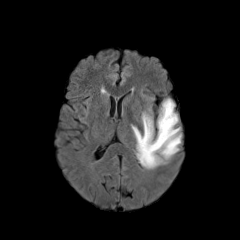
FLAIR magnetic resonance.
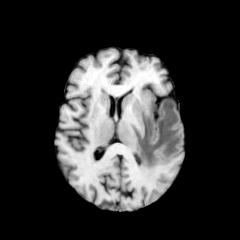
T1-weighted magnetic resonance.
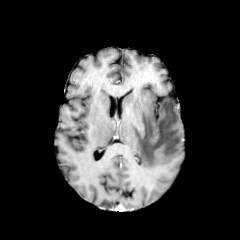
Same slice, post-contrast T1-weighted MR image.
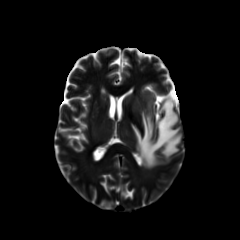
T2-weighted MR image.
Brain | 240x240 px
peritumoral edema at <bbox>133, 100, 180, 166</bbox>